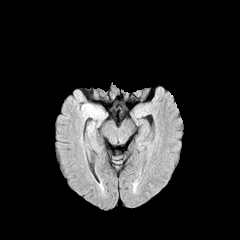
FLAIR MR image.
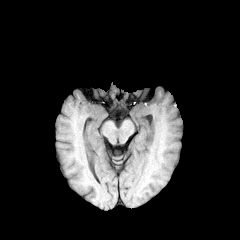
T1-weighted MR image.
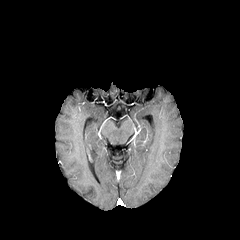
Same slice, post-contrast T1-weighted MRI.
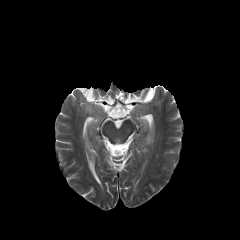
T2-weighted MR image.
Head. Axial view.
peritumoral edema: <box>83,105,101,118</box>